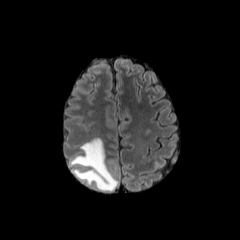
FLAIR magnetic resonance.
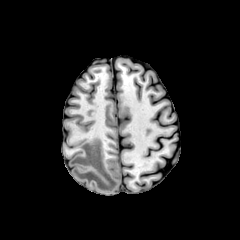
T1-weighted MR image.
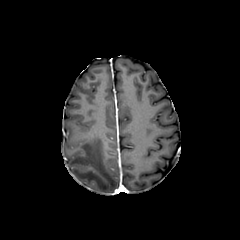
Post-contrast T1-weighted MR image of the same slice.
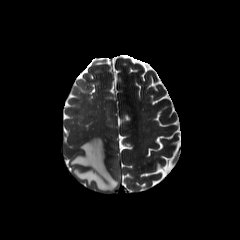
T2-weighted MRI of the same slice.
240x240 px
peritumoral edema: bounding box {"x1": 71, "y1": 138, "x2": 118, "y2": 191}